FLAIR MR.
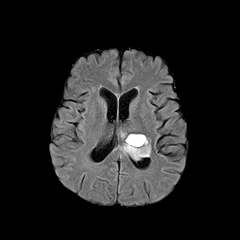
T1-weighted MR image.
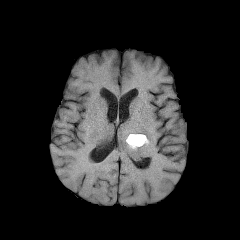
Post-contrast T1-weighted MR.
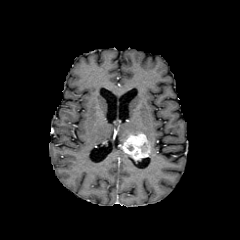
T2-weighted MR image.
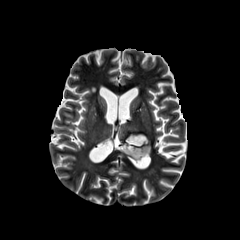
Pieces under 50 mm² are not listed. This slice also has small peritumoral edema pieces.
enhancing tumor — {"x1": 121, "y1": 140, "x2": 150, "y2": 160}